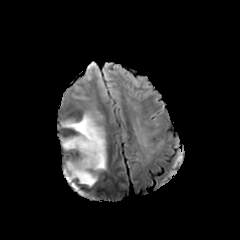
FLAIR MR.
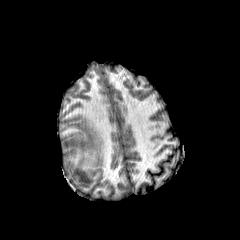
T1-weighted MRI.
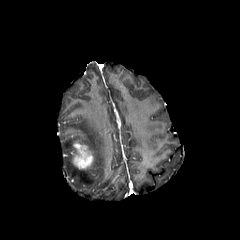
Post-contrast T1-weighted magnetic resonance.
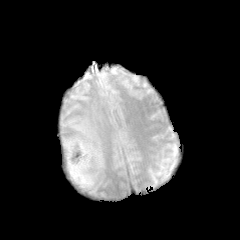
T2-weighted MR.
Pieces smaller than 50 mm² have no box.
{
  "enhancing_tumor": [
    "box(71, 141, 93, 169)"
  ],
  "necrotic_tumor_core": [
    "box(68, 145, 76, 158)"
  ],
  "peritumoral_edema": [
    "box(62, 110, 106, 186)"
  ]
}